FLAIR MR image.
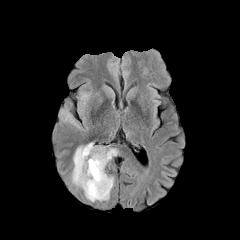
T1-weighted magnetic resonance.
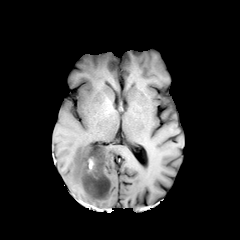
Post-contrast T1-weighted MR image.
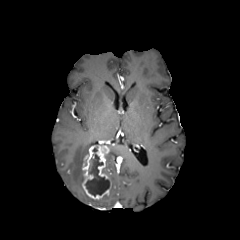
T2-weighted magnetic resonance.
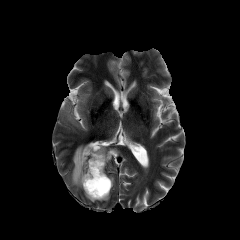
Head
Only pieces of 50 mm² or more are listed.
necrotic tumor core at 85, 154, 109, 196
peritumoral edema at 106, 148, 117, 165; 71, 142, 93, 188; 64, 112, 79, 127; 84, 191, 109, 202
enhancing tumor at 82, 145, 111, 199